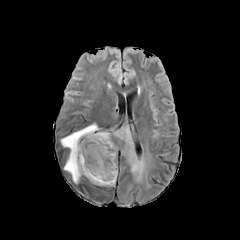
FLAIR MRI.
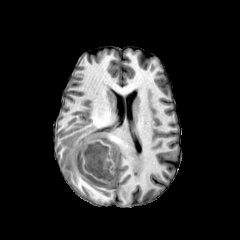
T1-weighted MR.
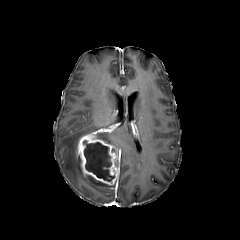
Post-contrast T1-weighted MR of the same slice.
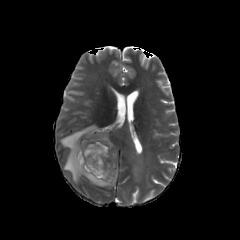
T2-weighted MR.
Axial slice | Brain
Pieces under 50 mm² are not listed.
The largest necrotic tumor core region is at <box>83,141,114,181</box>. 3 peritumoral edema regions appear at <box>86,175,108,186</box>, <box>97,129,146,182</box>, <box>60,124,99,182</box>. The enhancing tumor is at <box>76,132,119,185</box>.